FLAIR magnetic resonance.
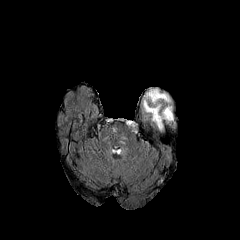
T1-weighted MR.
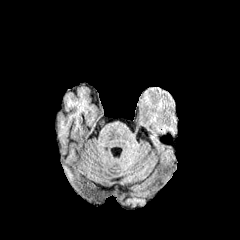
Post-contrast T1-weighted MRI.
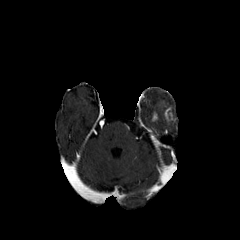
T2-weighted magnetic resonance.
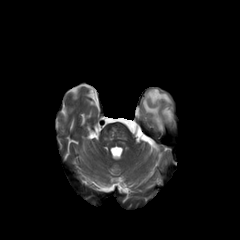
Brain
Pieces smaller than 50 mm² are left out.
The largest peritumoral edema region is at (142,88,171,130). The largest enhancing tumor region is at (161,107,175,123).